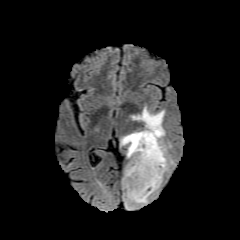
FLAIR magnetic resonance.
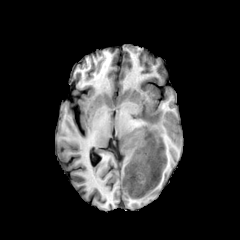
T1-weighted MRI.
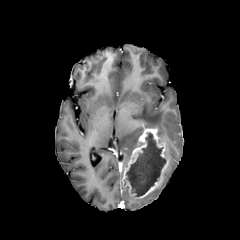
Post-contrast T1-weighted MR.
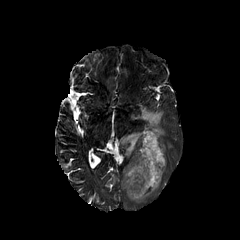
T2-weighted magnetic resonance.
240x240 px
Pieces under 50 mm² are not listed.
peritumoral edema at x1=120, y1=131, x2=142, y2=158; x1=123, y1=186, x2=159, y2=206; x1=165, y1=143, x2=172, y2=171; x1=132, y1=106, x2=165, y2=140
necrotic tumor core at x1=126, y1=133, x2=166, y2=196
enhancing tumor at x1=122, y1=128, x2=168, y2=198